FLAIR MR.
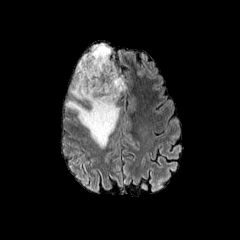
T1-weighted MR image.
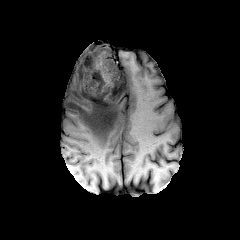
Post-contrast T1-weighted MR image.
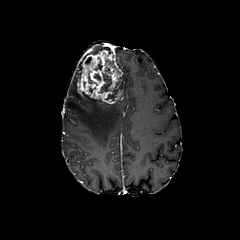
T2-weighted magnetic resonance.
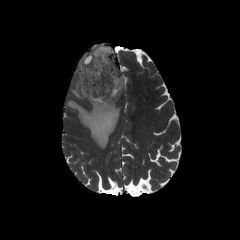
Brain
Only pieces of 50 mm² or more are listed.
Findings:
• enhancing tumor: (76,49,121,106)
• peritumoral edema: (120,75,126,92), (65,42,120,147)
• necrotic tumor core: (101,73,111,92), (105,89,118,100)